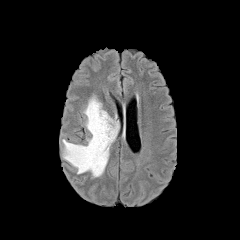
FLAIR magnetic resonance.
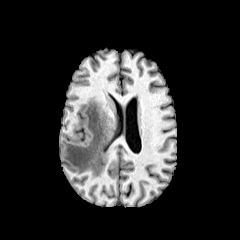
T1-weighted MR image.
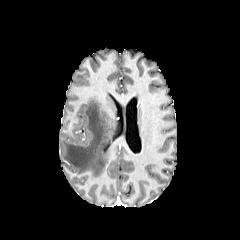
Same slice, post-contrast T1-weighted MR.
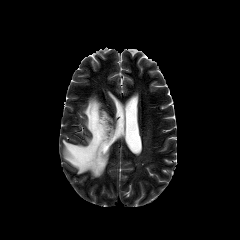
T2-weighted MR image.
Axial plane
<segmentation>
  <peritumoral_edema>(63,96,119,177)</peritumoral_edema>
</segmentation>